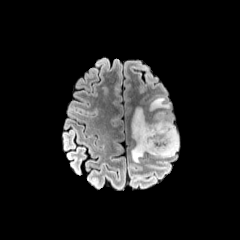
FLAIR magnetic resonance.
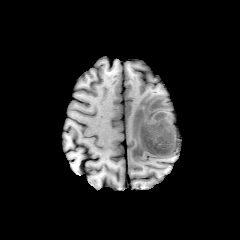
T1-weighted MR image of the same slice.
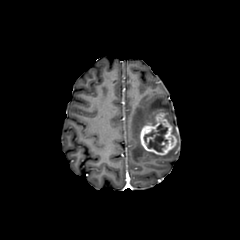
Post-contrast T1-weighted MRI.
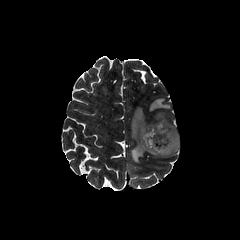
T2-weighted MR.
Image size 240x240
Findings:
- enhancing tumor: 140 113 178 155
- peritumoral edema: 131 97 179 162
- necrotic tumor core: 144 123 167 152